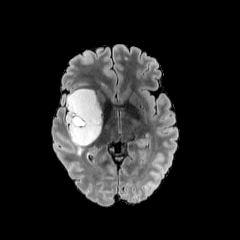
FLAIR MRI.
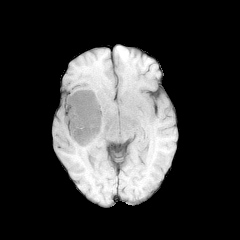
T1-weighted MR image.
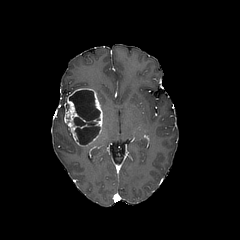
Post-contrast T1-weighted MR image.
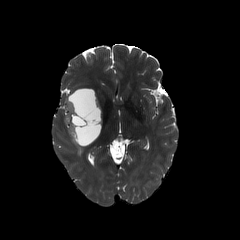
Same slice, T2-weighted MRI.
Axial slice.
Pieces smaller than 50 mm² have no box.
The largest enhancing tumor region appears at rect(65, 88, 102, 146). The largest peritumoral edema region lies within rect(68, 127, 83, 155). The necrotic tumor core lies within rect(69, 90, 100, 144).